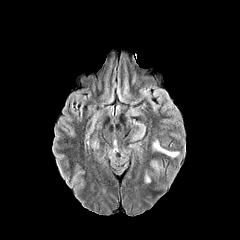
FLAIR MR image.
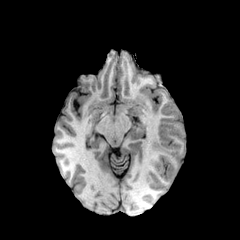
T1-weighted MR image of the same slice.
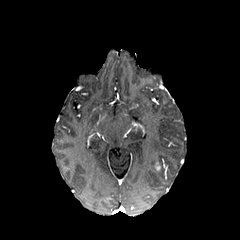
Same slice, post-contrast T1-weighted MRI.
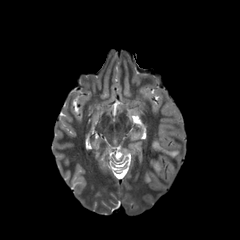
T2-weighted magnetic resonance.
240x240 px.
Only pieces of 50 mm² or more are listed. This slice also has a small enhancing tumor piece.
peritumoral edema — rect(152, 140, 178, 157)